FLAIR MRI.
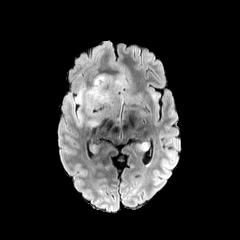
T1-weighted MR image.
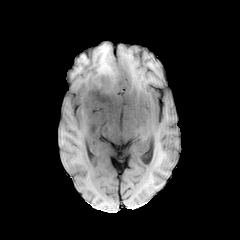
Post-contrast T1-weighted magnetic resonance.
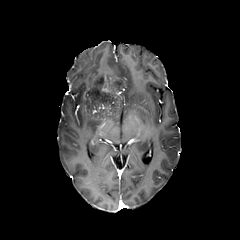
T2-weighted magnetic resonance.
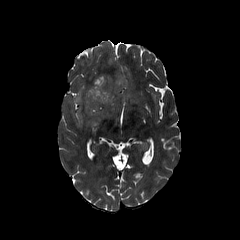
Head, 240x240
2 peritumoral edema regions appear at x1=71 y1=74 x2=142 y2=126, x1=150 y1=90 x2=159 y2=102.